Slice index 114; Head
FLAIR MRI.
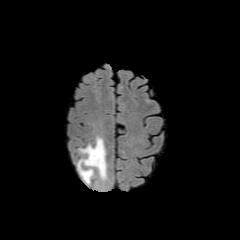
T1-weighted MR.
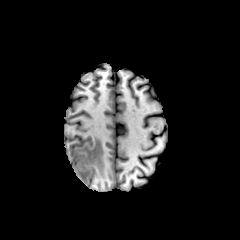
Post-contrast T1-weighted magnetic resonance.
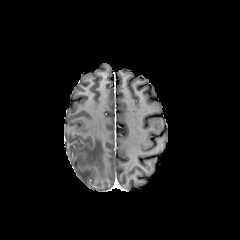
T2-weighted magnetic resonance.
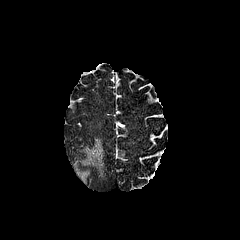
<segmentation>
  <peritumoral_edema>77, 137, 106, 183</peritumoral_edema>
</segmentation>